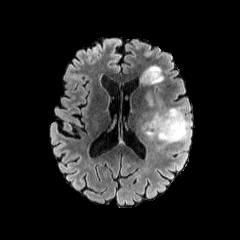
FLAIR MRI.
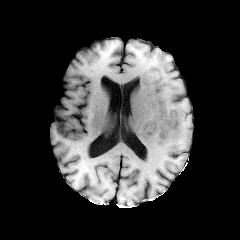
T1-weighted magnetic resonance of the same slice.
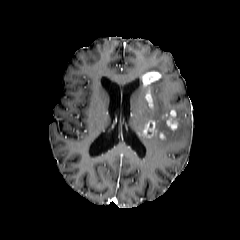
Same slice, post-contrast T1-weighted MR.
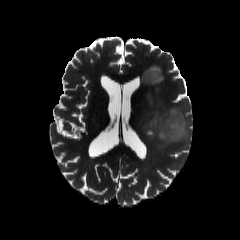
T2-weighted MRI of the same slice.
Axial plane, 240x240 px
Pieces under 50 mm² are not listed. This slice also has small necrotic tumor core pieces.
{"peritumoral_edema": ["(left=142, top=65, right=191, bottom=147)"], "enhancing_tumor": ["(left=162, top=109, right=178, bottom=130)", "(left=142, top=71, right=161, bottom=108)", "(left=143, top=120, right=156, bottom=137)"]}